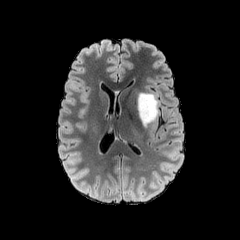
FLAIR magnetic resonance.
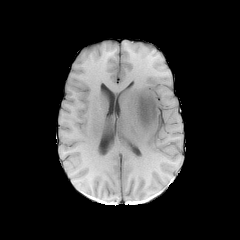
T1-weighted MR.
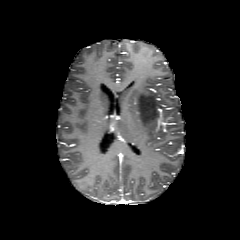
Post-contrast T1-weighted MR image.
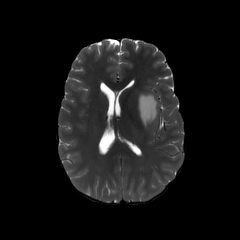
T2-weighted magnetic resonance.
Image size 240x240.
peritumoral_edema:
  - x1=138 y1=92 x2=158 y2=127